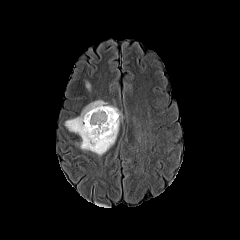
FLAIR MR.
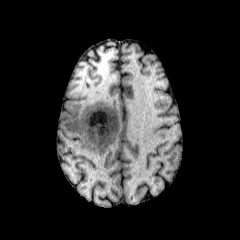
T1-weighted magnetic resonance of the same slice.
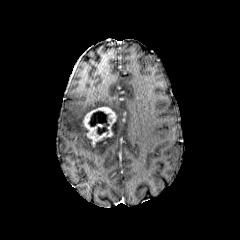
Same slice, post-contrast T1-weighted magnetic resonance.
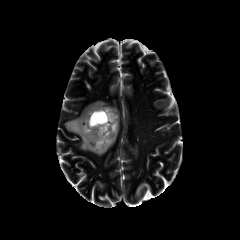
T2-weighted MRI.
Axial plane.
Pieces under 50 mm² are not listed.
{
  "enhancing_tumor": [
    "box(83, 107, 116, 145)"
  ],
  "peritumoral_edema": [
    "box(65, 100, 121, 155)"
  ],
  "necrotic_tumor_core": [
    "box(88, 111, 112, 135)"
  ]
}